FLAIR magnetic resonance.
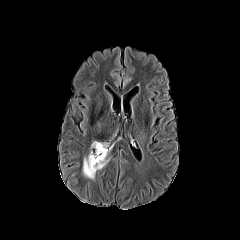
T1-weighted magnetic resonance.
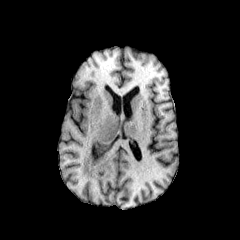
Post-contrast T1-weighted MR.
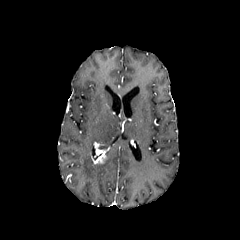
T2-weighted magnetic resonance.
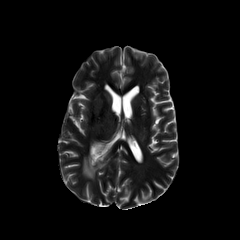
Axial plane | Head
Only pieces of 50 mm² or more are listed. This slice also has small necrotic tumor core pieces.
peritumoral edema at <bbox>82, 152, 110, 179</bbox>
enhancing tumor at <bbox>91, 142, 107, 164</bbox>